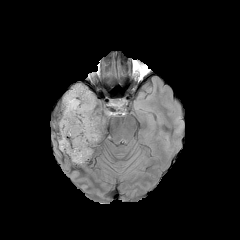
FLAIR MRI.
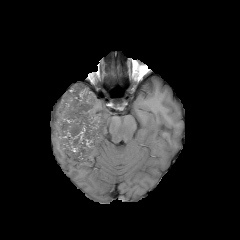
T1-weighted magnetic resonance of the same slice.
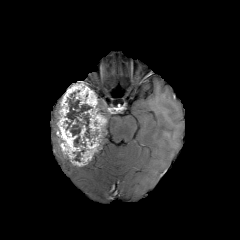
Same slice, post-contrast T1-weighted magnetic resonance.
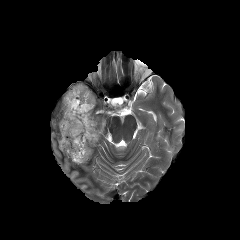
T2-weighted magnetic resonance.
Brain | Image size 240x240
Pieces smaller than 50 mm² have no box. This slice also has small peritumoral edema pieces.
Segmented structures:
* enhancing tumor: 57, 83, 106, 166; 80, 125, 86, 143
* necrotic tumor core: 73, 149, 85, 161; 65, 96, 92, 146